FLAIR magnetic resonance.
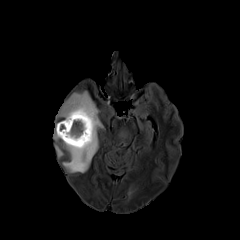
T1-weighted MR.
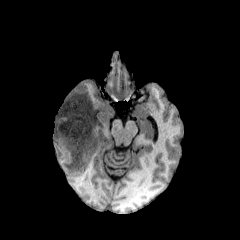
Post-contrast T1-weighted MR image.
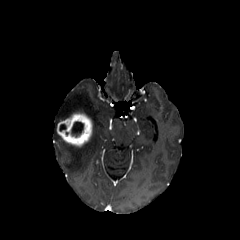
T2-weighted magnetic resonance.
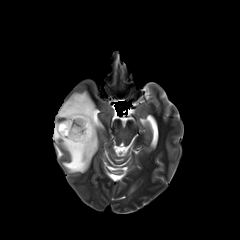
Head
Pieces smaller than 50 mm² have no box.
peritumoral edema: left=53, top=90, right=103, bottom=172; left=55, top=145, right=63, bottom=157 | necrotic tumor core: left=71, top=122, right=83, bottom=136 | enhancing tumor: left=56, top=112, right=92, bottom=146